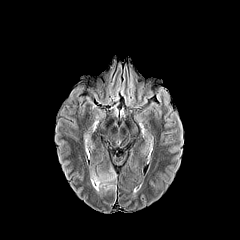
FLAIR MRI.
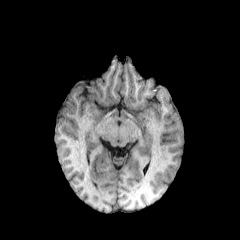
T1-weighted MRI.
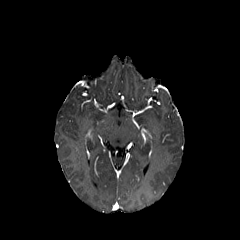
Post-contrast T1-weighted MR image of the same slice.
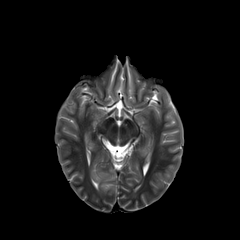
Same slice, T2-weighted MR.
Brain
The peritumoral edema appears at (90, 167, 116, 191).